FLAIR MR image.
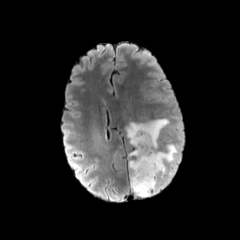
T1-weighted MRI.
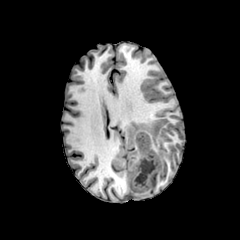
Post-contrast T1-weighted MR.
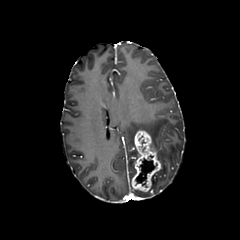
T2-weighted MR.
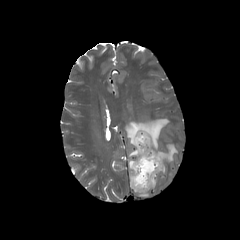
Image size 240x240 | Brain | Axial slice
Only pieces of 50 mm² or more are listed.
enhancing_tumor:
  - bbox(131, 130, 161, 191)
necrotic_tumor_core:
  - bbox(135, 158, 157, 187)
peritumoral_edema:
  - bbox(126, 119, 168, 150)
  - bbox(129, 160, 134, 180)
  - bbox(156, 144, 177, 174)
  - bbox(133, 190, 150, 196)